FLAIR MR image.
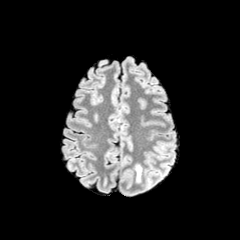
T1-weighted MR image.
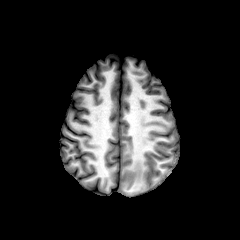
Post-contrast T1-weighted MR.
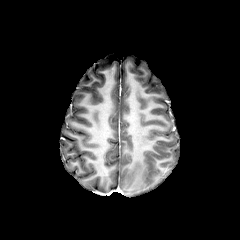
T2-weighted MRI.
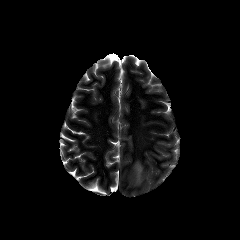
Brain | Axial slice | 240x240
Annotated regions:
- peritumoral edema: [134,163,142,182]